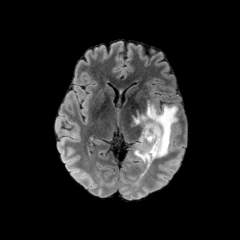
FLAIR MR image.
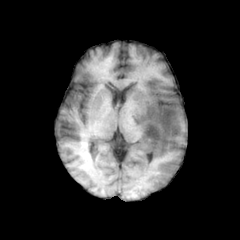
T1-weighted MR image.
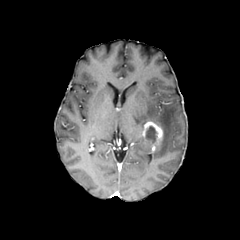
Post-contrast T1-weighted magnetic resonance.
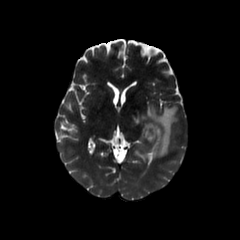
T2-weighted MR of the same slice.
enhancing tumor: bbox(141, 120, 163, 152)
peritumoral edema: bbox(134, 103, 177, 162)
necrotic tumor core: bbox(145, 126, 156, 142)